FLAIR MRI.
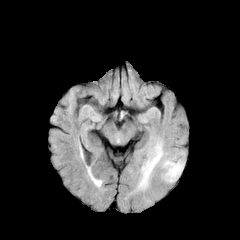
T1-weighted MR image.
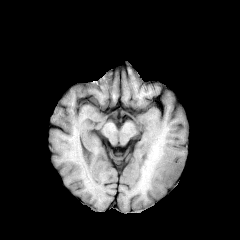
Post-contrast T1-weighted MRI.
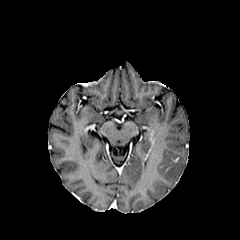
T2-weighted MR image.
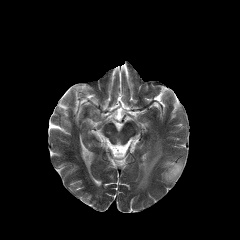
Brain | Axial slice
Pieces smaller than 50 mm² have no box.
peritumoral_edema:
  - [x1=163, y1=160, x2=183, y2=182]
  - [x1=139, y1=144, x2=162, y2=187]